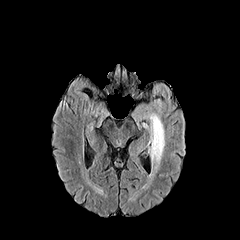
FLAIR magnetic resonance.
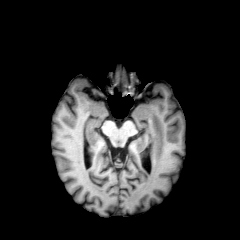
T1-weighted MR.
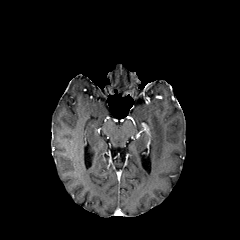
Post-contrast T1-weighted MR image of the same slice.
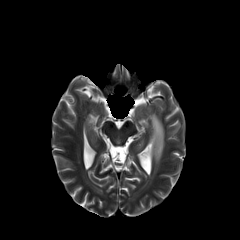
Same slice, T2-weighted MR image.
Image size 240x240.
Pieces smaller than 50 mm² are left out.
Annotated regions:
- peritumoral edema: (142,112,164,187)